Brain; Image size 240x240; Axial plane; Slice 52 of 155
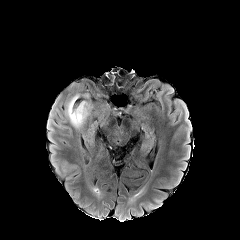
FLAIR magnetic resonance.
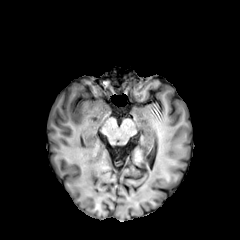
T1-weighted MR.
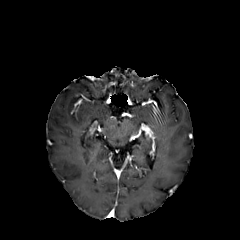
Post-contrast T1-weighted magnetic resonance.
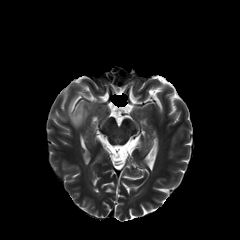
Same slice, T2-weighted MR image.
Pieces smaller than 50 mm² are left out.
peritumoral edema = {"x1": 66, "y1": 96, "x2": 92, "y2": 128}